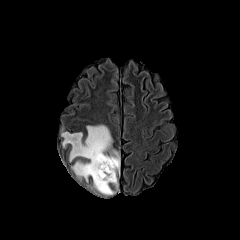
FLAIR MR.
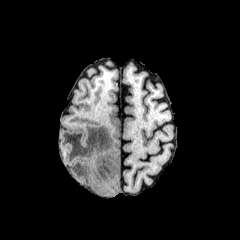
T1-weighted MR of the same slice.
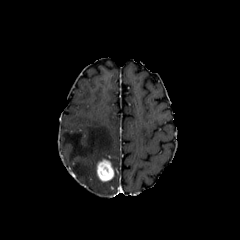
Same slice, post-contrast T1-weighted magnetic resonance.
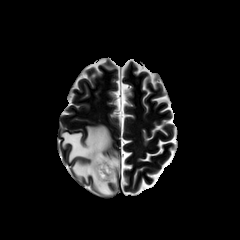
T2-weighted magnetic resonance.
240x240, Axial slice, Head
The enhancing tumor is located at {"x1": 96, "y1": 158, "x2": 114, "y2": 181}. The peritumoral edema is located at {"x1": 61, "y1": 125, "x2": 119, "y2": 195}.